FLAIR magnetic resonance.
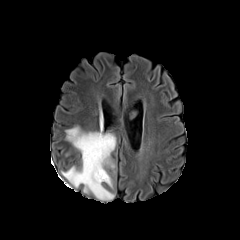
T1-weighted magnetic resonance.
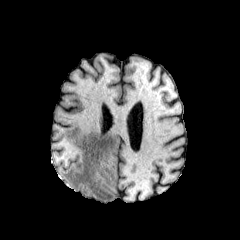
Post-contrast T1-weighted magnetic resonance.
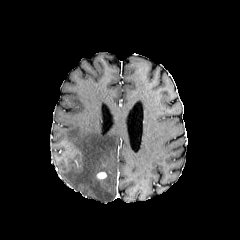
T2-weighted MR image.
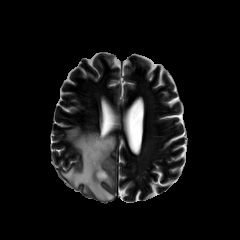
Head
enhancing tumor: 96:172:106:179 | peritumoral edema: 61:127:116:200